FLAIR MRI.
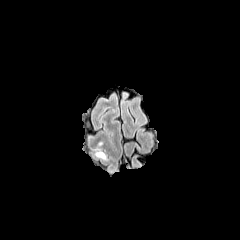
T1-weighted MR.
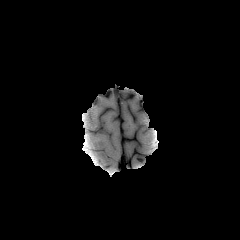
Post-contrast T1-weighted MR.
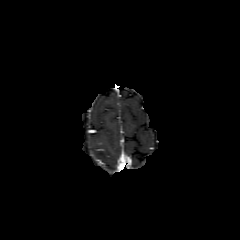
T2-weighted MR image.
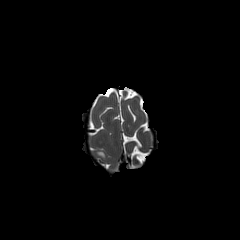
The peritumoral edema is located at box=[95, 142, 105, 159].